Brain, Slice 89 of 155
FLAIR MR.
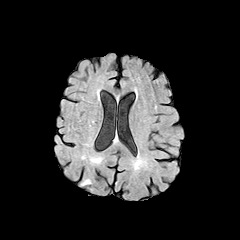
T1-weighted magnetic resonance.
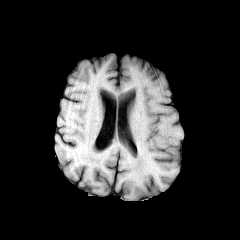
Post-contrast T1-weighted MRI.
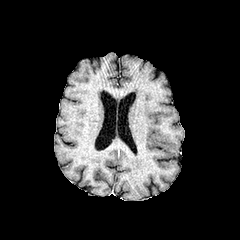
T2-weighted magnetic resonance.
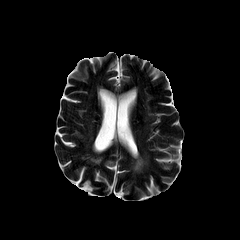
The peritumoral edema lies within x1=134 y1=159 x2=145 y2=169.